Image covers 240 mm x 240 mm; Slice index 86; Axial slice
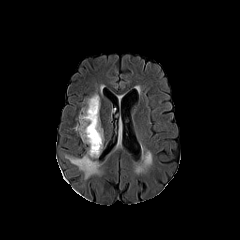
FLAIR MR image.
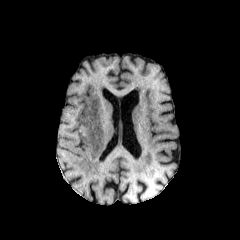
T1-weighted magnetic resonance.
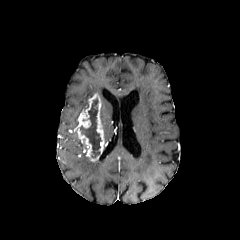
Post-contrast T1-weighted magnetic resonance.
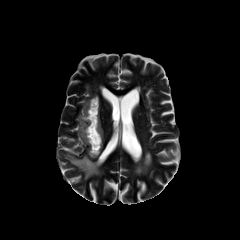
T2-weighted MRI.
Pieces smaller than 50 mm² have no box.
Annotated regions:
- necrotic tumor core: (80, 99, 101, 157)
- peritumoral edema: (65, 154, 100, 179)
- enhancing tumor: (75, 93, 104, 161)